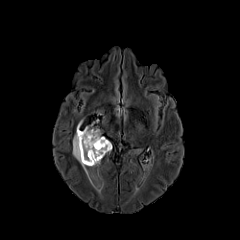
FLAIR MRI.
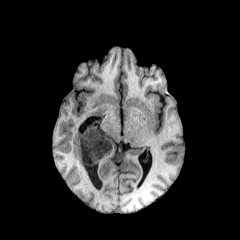
Same slice, T1-weighted MR image.
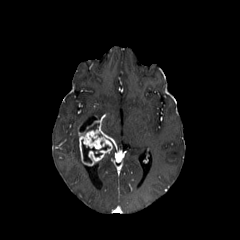
Same slice, post-contrast T1-weighted magnetic resonance.
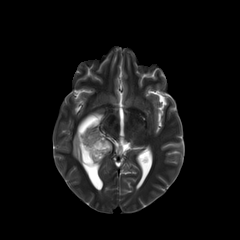
T2-weighted magnetic resonance.
240x240. Axial plane. Brain.
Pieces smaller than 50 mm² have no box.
The largest necrotic tumor core region appears at box(81, 140, 101, 163). The largest enhancing tumor region is located at box(78, 129, 112, 165). The largest peritumoral edema region is bounded by box(72, 119, 95, 165).